FLAIR MR.
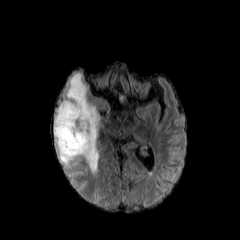
T1-weighted MRI.
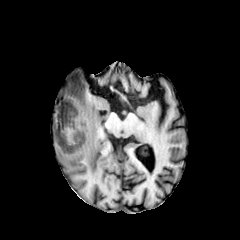
Post-contrast T1-weighted MRI.
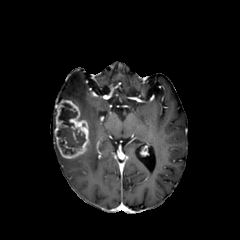
T2-weighted MRI.
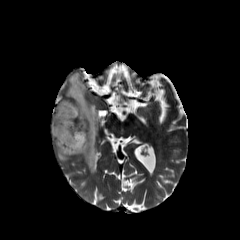
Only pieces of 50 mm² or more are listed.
The largest enhancing tumor region appears at 54 100 89 158. The largest necrotic tumor core region is located at 57 103 85 154. The largest peritumoral edema region is at 57 72 99 174.